FLAIR MRI.
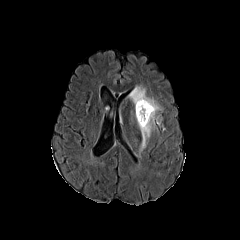
T1-weighted MR image.
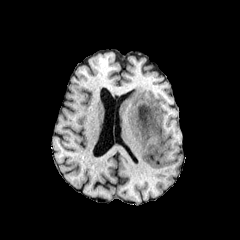
Post-contrast T1-weighted MR.
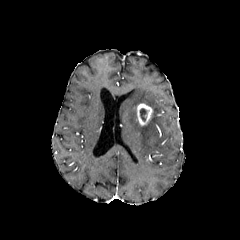
T2-weighted MR.
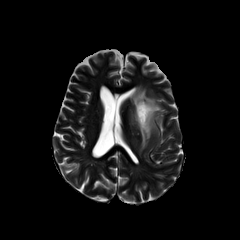
Head, 240x240 px
The necrotic tumor core is located at box(140, 108, 146, 121). The enhancing tumor is at box(136, 103, 152, 125). The peritumoral edema is bounded by box(129, 86, 161, 153).